Slice index 35. Head. Axial plane.
FLAIR MRI.
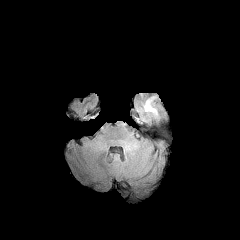
T1-weighted MR image.
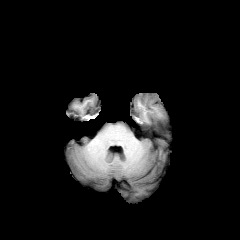
Post-contrast T1-weighted MR image.
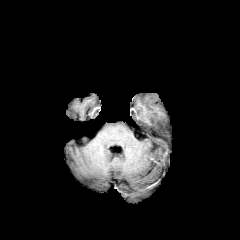
T2-weighted MR image.
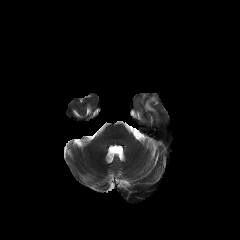
peritumoral edema: x1=144 y1=97 x2=156 y2=115